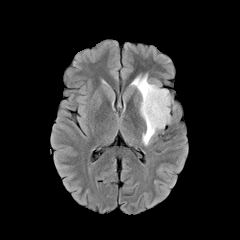
FLAIR MRI.
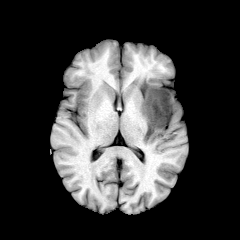
T1-weighted MR of the same slice.
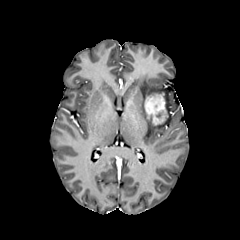
Post-contrast T1-weighted MR image.
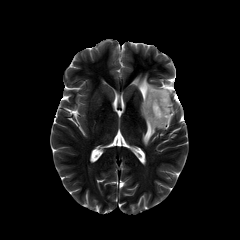
T2-weighted MR.
Head, 240x240 px
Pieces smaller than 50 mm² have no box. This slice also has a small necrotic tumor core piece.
enhancing tumor = <box>144,93,168,125</box>
peritumoral edema = <box>131,74,171,145</box>